FLAIR MR.
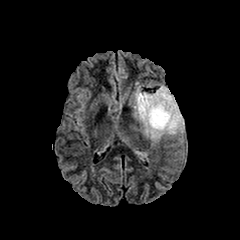
T1-weighted MR image.
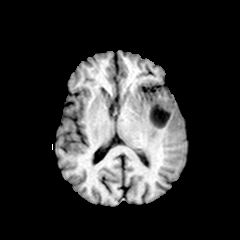
Post-contrast T1-weighted MRI.
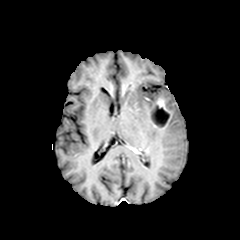
T2-weighted magnetic resonance.
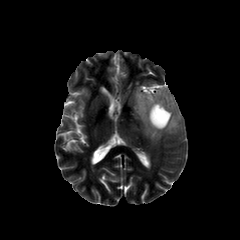
Brain
necrotic tumor core: [150, 105, 169, 127] | peritumoral edema: [133, 86, 184, 142] | enhancing tumor: [148, 98, 171, 128]